FLAIR MRI.
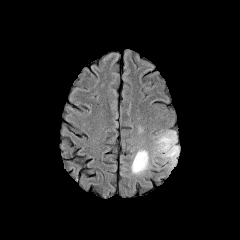
T1-weighted magnetic resonance.
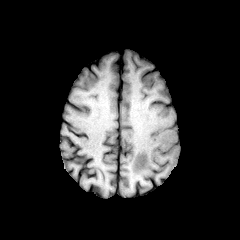
Post-contrast T1-weighted MRI.
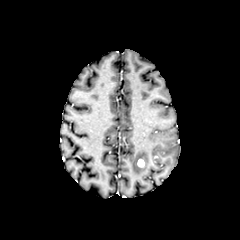
T2-weighted MR image.
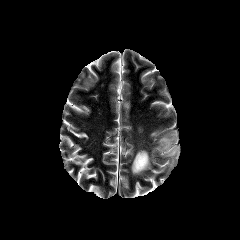
Axial view; Head
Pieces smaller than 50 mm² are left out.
The enhancing tumor is bounded by l=137, t=159, r=144, b=167. The 2 largest peritumoral edema regions are bounded by l=154, t=130, r=179, b=169; l=131, t=149, r=150, b=174.